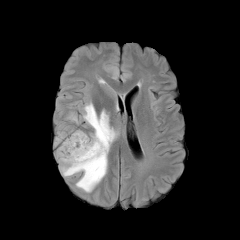
FLAIR magnetic resonance.
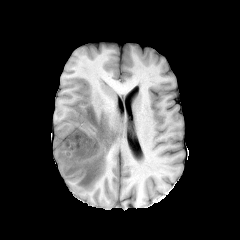
T1-weighted MR.
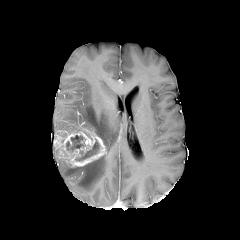
Post-contrast T1-weighted MR of the same slice.
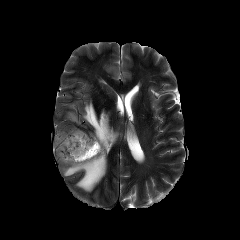
Same slice, T2-weighted MRI.
Head; 240x240 px
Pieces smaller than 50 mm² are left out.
The 2 largest peritumoral edema regions appear at [x1=68, y1=113, x2=77, y2=122], [x1=58, y1=102, x2=118, y2=192]. The enhancing tumor lies within [x1=54, y1=130, x2=106, y2=167]. The 2 largest necrotic tumor core regions appear at [x1=75, y1=142, x2=99, y2=160], [x1=70, y1=136, x2=85, y2=147].